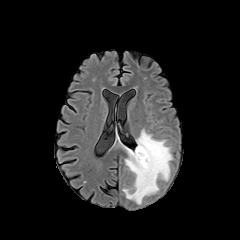
FLAIR MR.
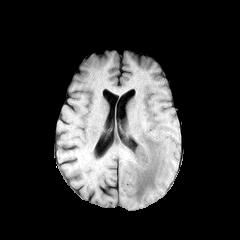
T1-weighted MRI.
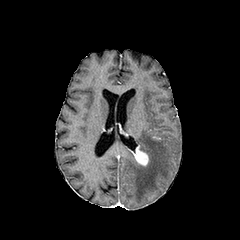
Post-contrast T1-weighted MR.
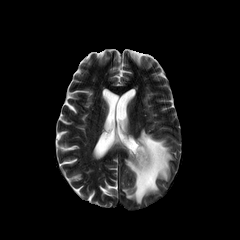
Same slice, T2-weighted MR.
Brain
The peritumoral edema is bounded by [x1=121, y1=129, x2=172, y2=204]. The enhancing tumor is bounded by [x1=132, y1=145, x2=148, y2=166].